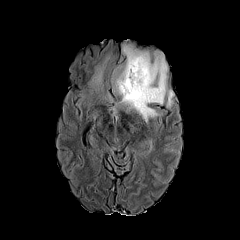
FLAIR MRI.
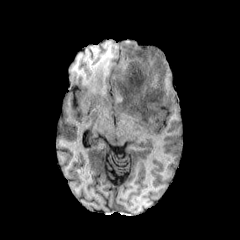
T1-weighted magnetic resonance of the same slice.
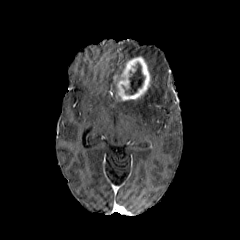
Same slice, post-contrast T1-weighted magnetic resonance.
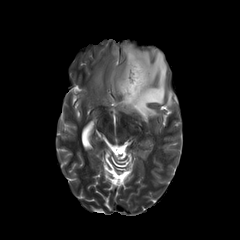
Same slice, T2-weighted MR.
Head
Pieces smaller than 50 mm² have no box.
enhancing_tumor:
  - box(116, 56, 150, 100)
necrotic_tumor_core:
  - box(122, 63, 144, 94)
peritumoral_edema:
  - box(87, 55, 109, 91)
  - box(117, 43, 175, 123)